240x240.
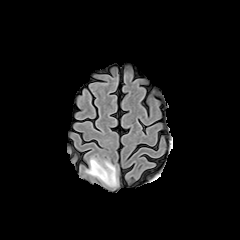
FLAIR MR.
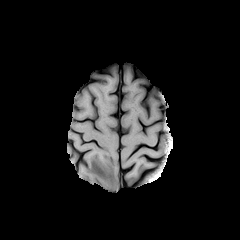
T1-weighted MR image.
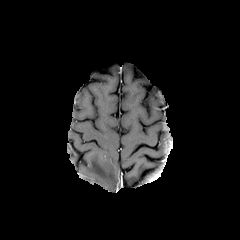
Post-contrast T1-weighted MR.
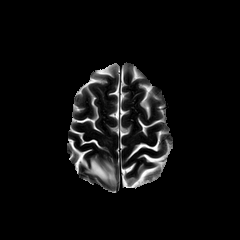
T2-weighted MRI of the same slice.
peritumoral edema: bounding box left=85, top=157, right=116, bottom=188